Slice index 69
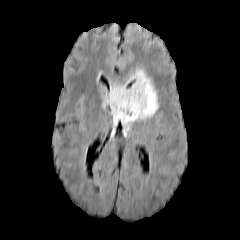
FLAIR MRI.
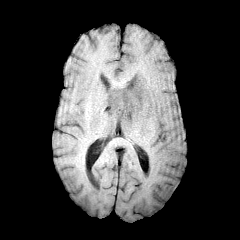
T1-weighted MRI.
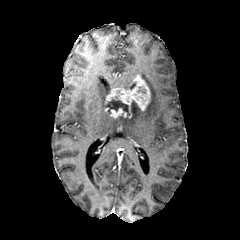
Post-contrast T1-weighted MR image.
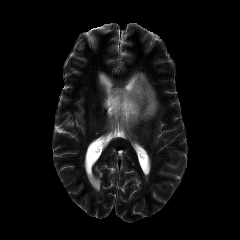
T2-weighted MRI.
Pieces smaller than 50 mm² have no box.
<segmentation>
  <enhancing_tumor>box=[105, 74, 150, 118]</enhancing_tumor>
  <necrotic_tumor_core>box=[108, 99, 128, 114]</necrotic_tumor_core>
  <peritumoral_edema>box=[113, 70, 158, 134]</peritumoral_edema>
</segmentation>